FLAIR MR.
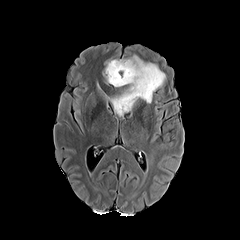
T1-weighted MR image.
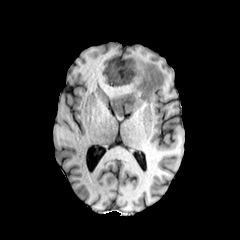
Post-contrast T1-weighted MR.
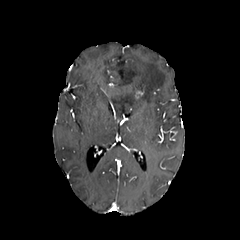
T2-weighted MR image.
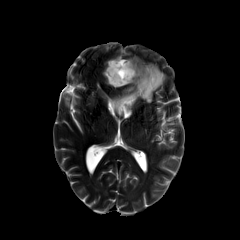
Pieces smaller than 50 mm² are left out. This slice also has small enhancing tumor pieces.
peritumoral edema = [x1=102, y1=58, x2=113, y2=83], [x1=106, y1=53, x2=165, y2=117]
necrotic tumor core = [x1=110, y1=61, x2=126, y2=85]